FLAIR MR image.
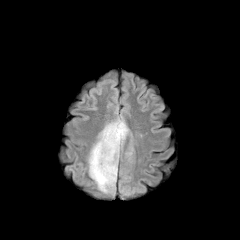
T1-weighted MR image.
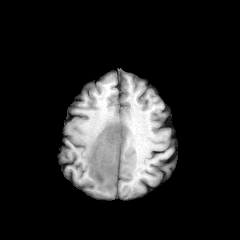
Post-contrast T1-weighted magnetic resonance.
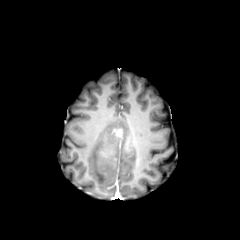
T2-weighted magnetic resonance.
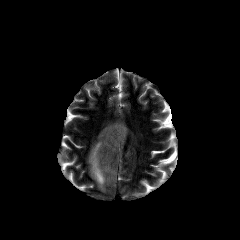
Head
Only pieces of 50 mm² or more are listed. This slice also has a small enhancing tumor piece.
<segmentation>
  <peritumoral_edema>88:119:129:192</peritumoral_edema>
</segmentation>